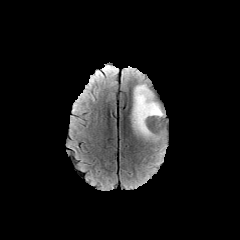
FLAIR magnetic resonance.
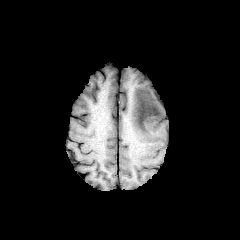
T1-weighted MR image of the same slice.
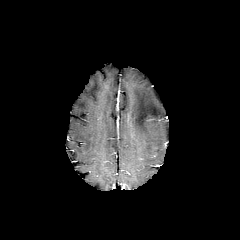
Post-contrast T1-weighted MR image of the same slice.
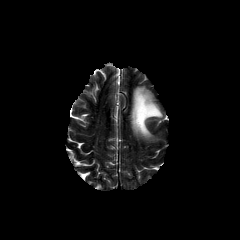
T2-weighted MR image of the same slice.
Head. 240x240 px.
The peritumoral edema lies within [131,84,164,140].